Head
FLAIR magnetic resonance.
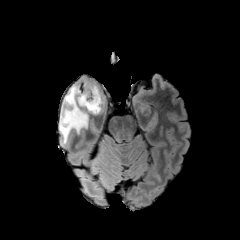
T1-weighted MRI.
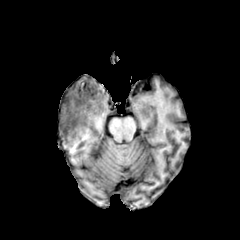
Post-contrast T1-weighted MR image.
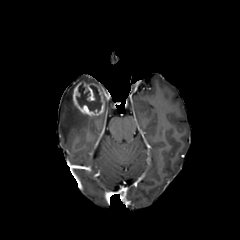
T2-weighted MR image.
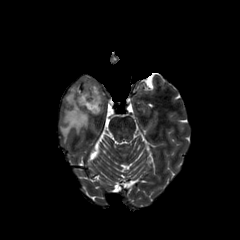
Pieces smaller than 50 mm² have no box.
The enhancing tumor is bounded by [72, 82, 105, 116]. The necrotic tumor core is at [76, 84, 101, 111]. The largest peritumoral edema region is located at [59, 81, 89, 138].